Brain | Axial plane | Slice 70/155
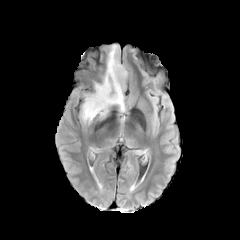
FLAIR MR.
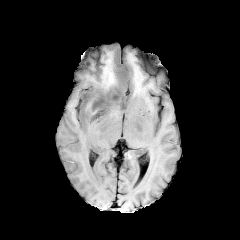
T1-weighted MRI.
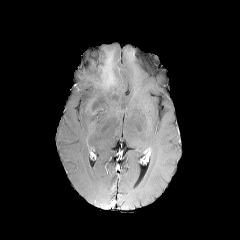
Post-contrast T1-weighted MR.
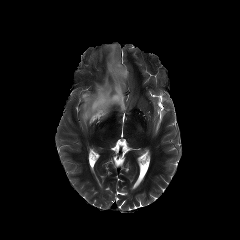
T2-weighted MR of the same slice.
peritumoral edema = [80,44,128,123]